Slice 96 of 155; Head
FLAIR magnetic resonance.
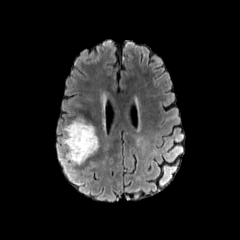
T1-weighted MR image.
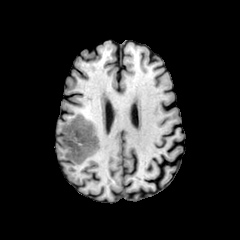
Post-contrast T1-weighted MR.
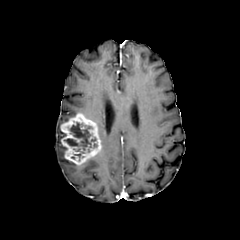
T2-weighted magnetic resonance.
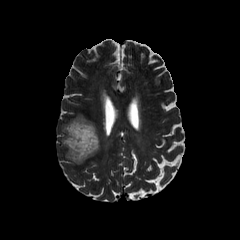
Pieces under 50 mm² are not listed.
<segmentation>
  <necrotic_tumor_core>left=64, top=122, right=97, bottom=160</necrotic_tumor_core>
  <enhancing_tumor>left=60, top=113, right=101, bottom=164</enhancing_tumor>
</segmentation>